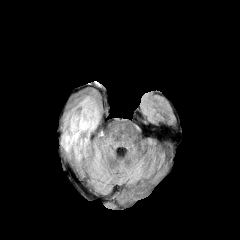
FLAIR magnetic resonance.
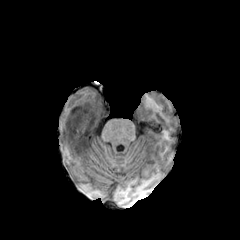
T1-weighted MR.
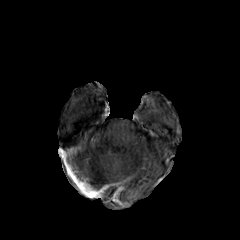
Post-contrast T1-weighted MR image.
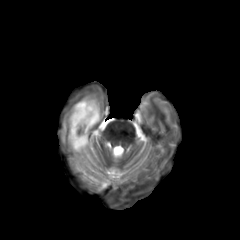
Same slice, T2-weighted MR.
Head. 240x240.
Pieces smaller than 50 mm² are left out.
The largest enhancing tumor region is at rect(76, 134, 87, 152). 2 peritumoral edema regions appear at rect(77, 148, 91, 162); rect(61, 91, 100, 151). The largest necrotic tumor core region lies within rect(73, 113, 92, 149).